Brain. Slice 64/155. Image covers 240 mm x 240 mm.
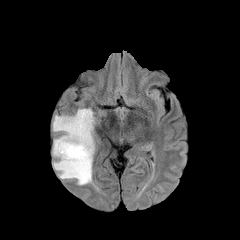
FLAIR magnetic resonance.
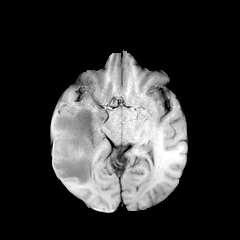
T1-weighted MR.
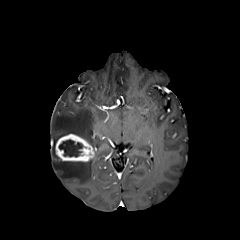
Post-contrast T1-weighted MR.
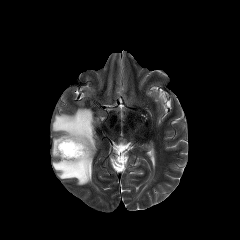
T2-weighted MR of the same slice.
necrotic_tumor_core:
  - {"x1": 59, "y1": 140, "x2": 82, "y2": 156}
peritumoral_edema:
  - {"x1": 52, "y1": 108, "x2": 95, "y2": 185}
enhancing_tumor:
  - {"x1": 55, "y1": 134, "x2": 95, "y2": 162}